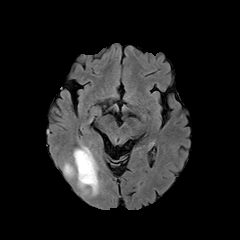
FLAIR MRI.
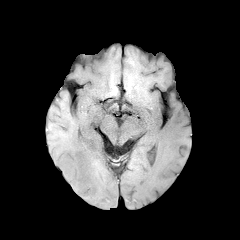
T1-weighted MRI.
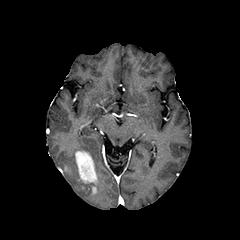
Same slice, post-contrast T1-weighted MR.
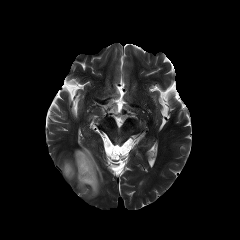
T2-weighted MRI.
Image size 240x240. Brain.
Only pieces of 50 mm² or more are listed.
<segmentation>
  <peritumoral_edema>left=62, top=145, right=101, bottom=196</peritumoral_edema>
  <enhancing_tumor>left=75, top=151, right=97, bottom=184</enhancing_tumor>
</segmentation>